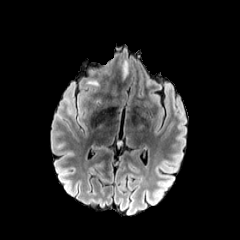
FLAIR MR.
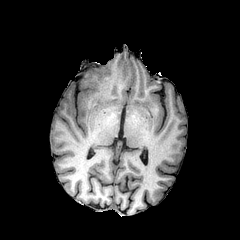
T1-weighted magnetic resonance.
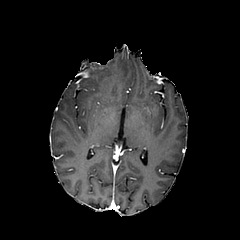
Post-contrast T1-weighted MR image.
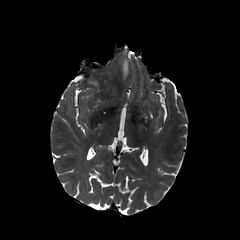
T2-weighted magnetic resonance.
240x240 px. Axial view.
Segmented structures:
- peritumoral edema: [121,60,128,81], [86,65,114,105]